FLAIR magnetic resonance.
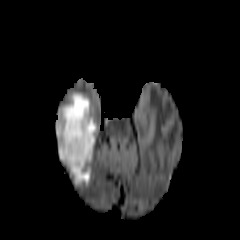
T1-weighted magnetic resonance.
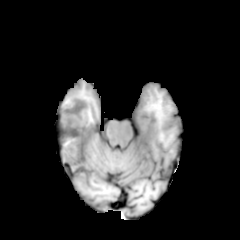
Post-contrast T1-weighted magnetic resonance.
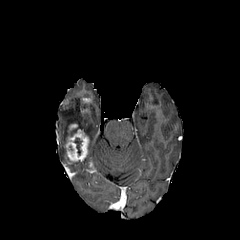
T2-weighted MRI.
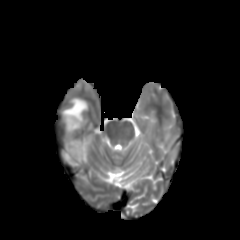
Image size 240x240, Axial plane
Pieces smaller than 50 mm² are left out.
enhancing tumor — 68:124:77:137, 64:128:88:164
peritumoral edema — 56:92:96:185
necrotic tumor core — 74:138:80:154